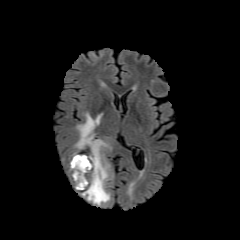
FLAIR MR image.
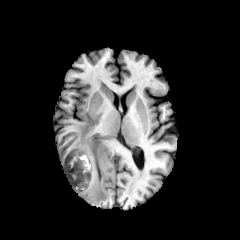
T1-weighted MR image.
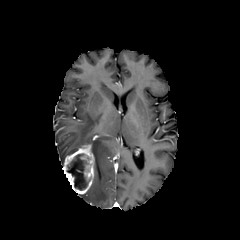
Post-contrast T1-weighted MRI.
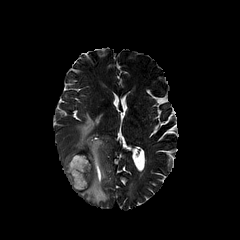
Same slice, T2-weighted magnetic resonance.
Head
Findings:
• enhancing tumor: 63 143 94 194
• peritumoral edema: 74 112 110 205
• necrotic tumor core: 67 153 90 190